240x240 px; Slice index 119; Axial slice
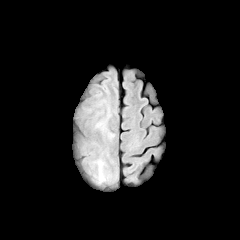
FLAIR MR.
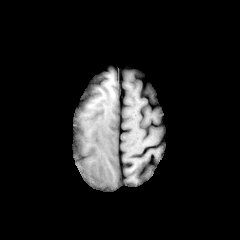
Same slice, T1-weighted MR image.
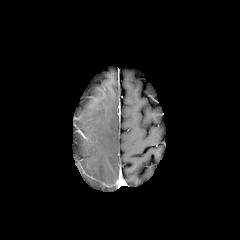
Post-contrast T1-weighted MR image.
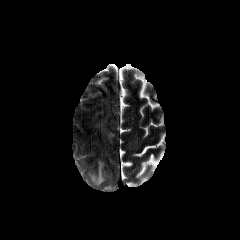
T2-weighted magnetic resonance.
peritumoral edema — bbox=[98, 161, 104, 181]